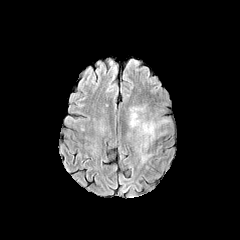
FLAIR MR.
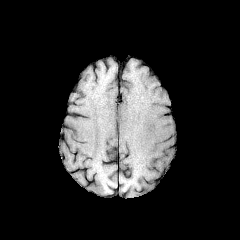
T1-weighted MR.
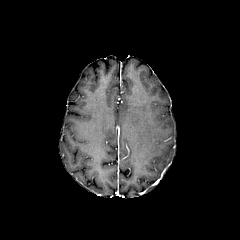
Same slice, post-contrast T1-weighted magnetic resonance.
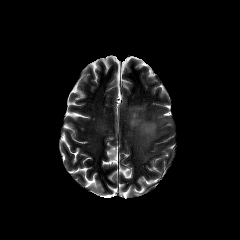
T2-weighted MR image.
Axial slice
peritumoral edema = 129:106:160:147